FLAIR MRI.
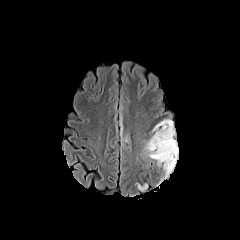
T1-weighted MR.
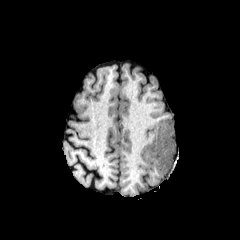
Post-contrast T1-weighted MRI.
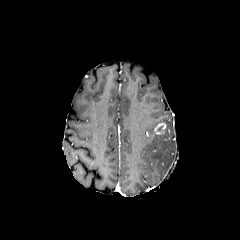
T2-weighted MR.
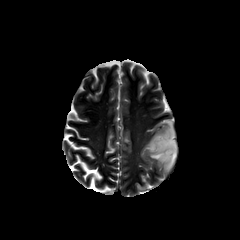
Axial slice | Brain
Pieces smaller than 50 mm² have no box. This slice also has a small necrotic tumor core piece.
The 3 largest peritumoral edema regions are bounded by rect(135, 183, 148, 191); rect(120, 110, 129, 143); rect(144, 119, 178, 177). The enhancing tumor lies within rect(154, 123, 166, 134).